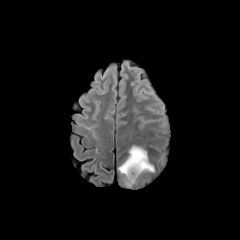
FLAIR MR image.
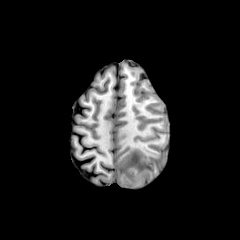
T1-weighted MR image of the same slice.
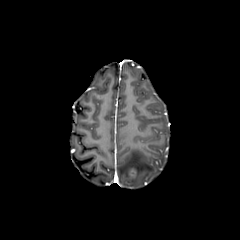
Post-contrast T1-weighted MR image.
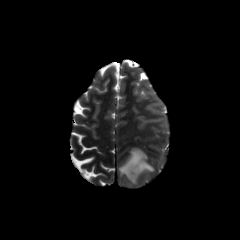
T2-weighted MR image.
Axial slice, Head
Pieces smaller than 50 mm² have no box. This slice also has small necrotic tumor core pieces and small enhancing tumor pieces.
peritumoral edema: [118,147,154,186]